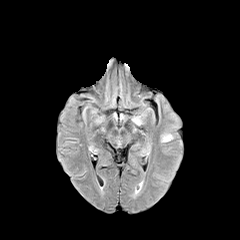
FLAIR MR.
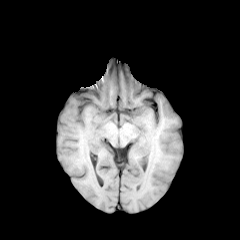
T1-weighted MR image of the same slice.
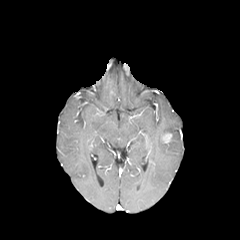
Post-contrast T1-weighted MR.
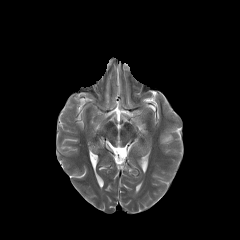
T2-weighted magnetic resonance.
Image size 240x240. Axial view.
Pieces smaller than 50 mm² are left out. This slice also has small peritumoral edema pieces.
- enhancing tumor: (x1=162, y1=133, x2=171, y2=142)